FLAIR MR image.
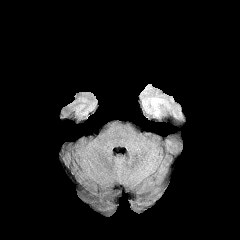
T1-weighted magnetic resonance.
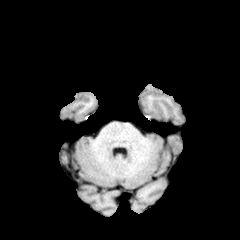
Post-contrast T1-weighted MRI.
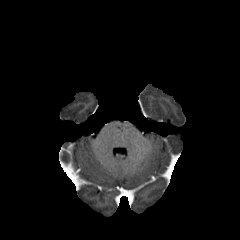
T2-weighted MR.
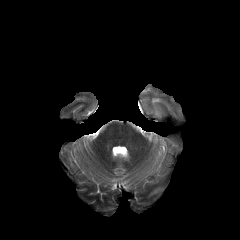
Axial view. Brain.
peritumoral_edema:
  - l=151, t=97, r=169, b=116